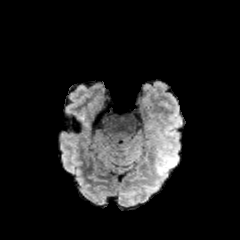
FLAIR MRI.
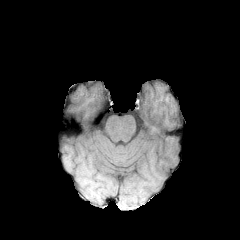
Same slice, T1-weighted MR image.
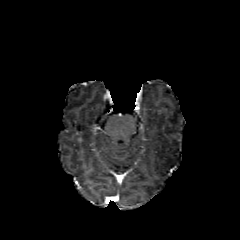
Post-contrast T1-weighted MRI.
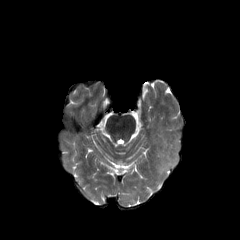
Same slice, T2-weighted magnetic resonance.
Brain. 240x240 px. Axial plane.
The peritumoral edema is at box(156, 133, 179, 176).